Brain | 240x240
FLAIR MR.
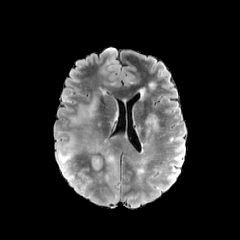
T1-weighted MR.
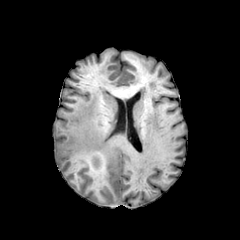
Post-contrast T1-weighted MR.
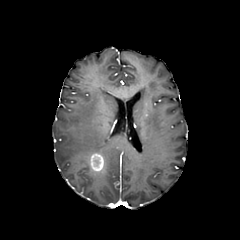
T2-weighted MR.
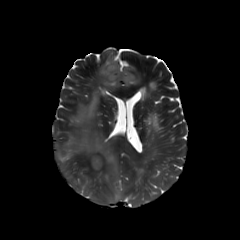
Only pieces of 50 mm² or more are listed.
peritumoral edema at x1=86, y1=140, x2=117, y2=174; x1=56, y1=135, x2=75, y2=179; x1=70, y1=97, x2=97, y2=124
enhancing tumor at x1=90, y1=153, x2=103, y2=171